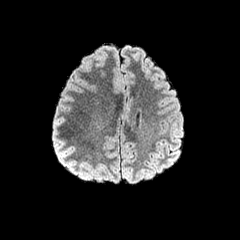
FLAIR magnetic resonance.
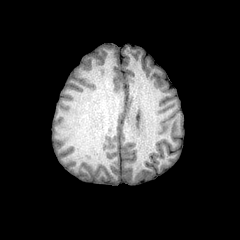
T1-weighted MR image of the same slice.
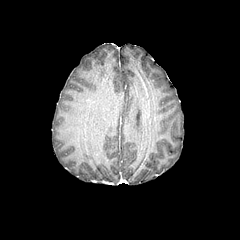
Post-contrast T1-weighted MR image.
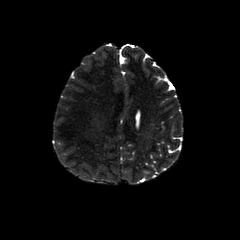
T2-weighted MR image.
Axial view; Image size 240x240
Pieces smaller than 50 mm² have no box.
Annotated regions:
• peritumoral edema: <bbox>94, 49, 105, 59</bbox>